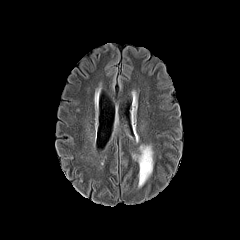
FLAIR MR image.
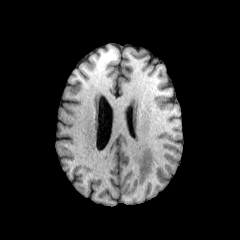
Same slice, T1-weighted MRI.
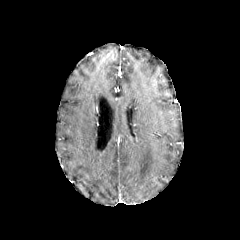
Post-contrast T1-weighted magnetic resonance.
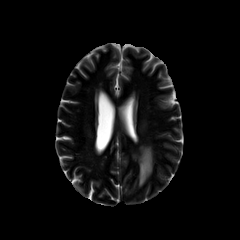
Same slice, T2-weighted MRI.
Head | Axial plane
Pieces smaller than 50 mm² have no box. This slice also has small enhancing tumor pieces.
peritumoral edema = <box>133,145,153,187</box>